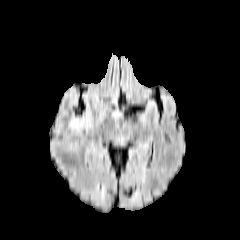
FLAIR MRI.
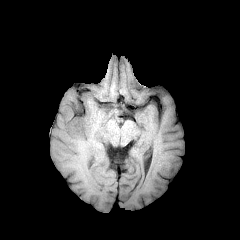
T1-weighted MRI.
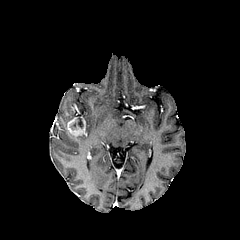
Post-contrast T1-weighted MRI of the same slice.
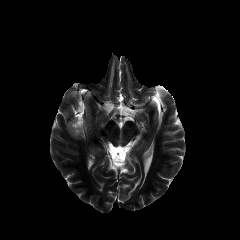
Same slice, T2-weighted MRI.
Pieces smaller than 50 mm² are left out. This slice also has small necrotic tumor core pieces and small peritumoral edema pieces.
Findings:
* enhancing tumor: 67,116,85,136